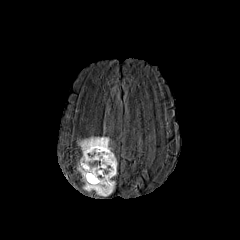
FLAIR MR image.
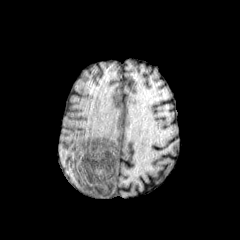
T1-weighted MR image of the same slice.
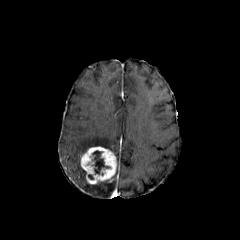
Post-contrast T1-weighted MR.
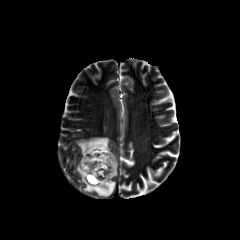
T2-weighted MR image.
Brain. 240x240.
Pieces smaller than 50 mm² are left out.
The 2 largest peritumoral edema regions appear at 77 136 111 154, 77 162 115 196. The largest necrotic tumor core region is located at 92 151 109 174. The enhancing tumor lies within 80 146 116 184.